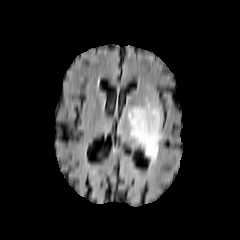
FLAIR magnetic resonance.
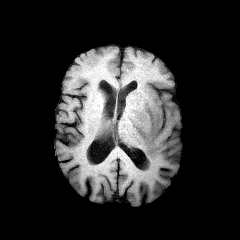
T1-weighted MR.
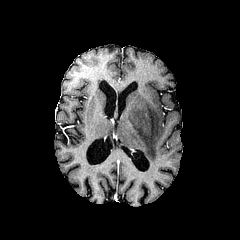
Post-contrast T1-weighted magnetic resonance.
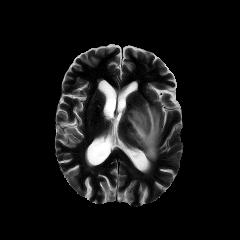
T2-weighted MRI.
Axial view | Image size 240x240
The peritumoral edema is located at box(127, 102, 161, 162).